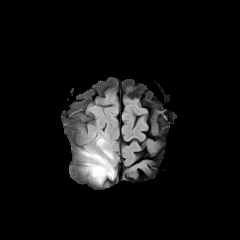
FLAIR MRI.
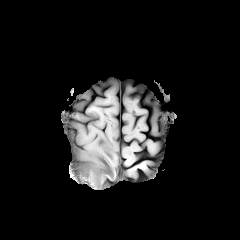
T1-weighted MR image.
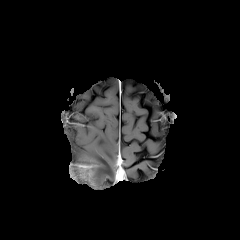
Same slice, post-contrast T1-weighted MR image.
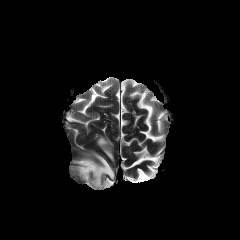
T2-weighted MRI of the same slice.
Head
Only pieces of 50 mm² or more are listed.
The 2 largest peritumoral edema regions are located at [x1=96, y1=136, x2=113, y2=160], [x1=83, y1=150, x2=114, y2=183]. The enhancing tumor appears at [x1=78, y1=157, x2=107, y2=175].